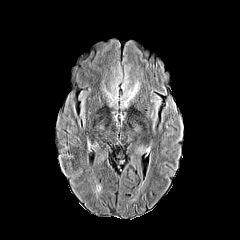
FLAIR magnetic resonance.
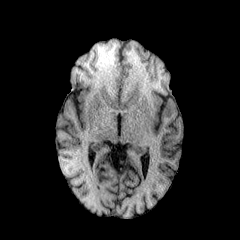
T1-weighted MRI.
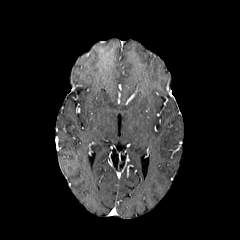
Same slice, post-contrast T1-weighted MR.
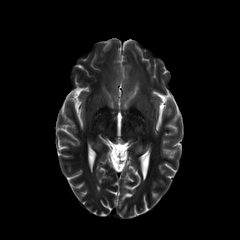
T2-weighted MR.
240x240 px.
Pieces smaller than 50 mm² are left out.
{"peritumoral_edema": ["127,82,138,98"]}